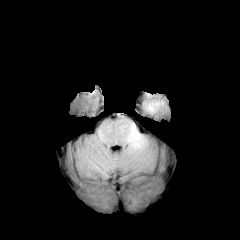
FLAIR MRI.
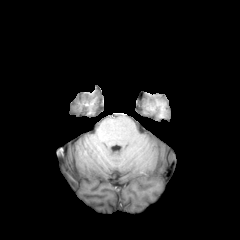
T1-weighted MRI.
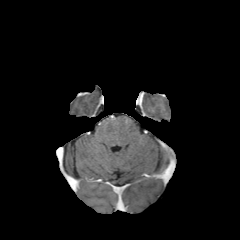
Post-contrast T1-weighted MR.
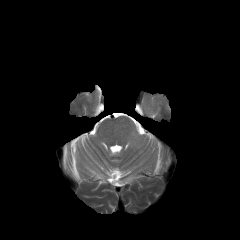
T2-weighted MR of the same slice.
Image size 240x240, Axial slice
Segmented structures:
- peritumoral edema: [144,102,160,112]